FLAIR magnetic resonance.
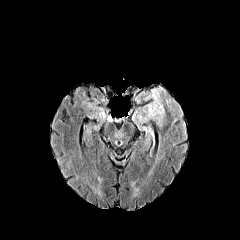
T1-weighted MR.
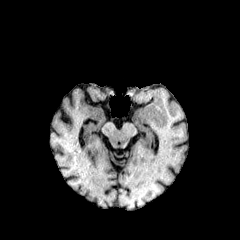
Post-contrast T1-weighted MRI.
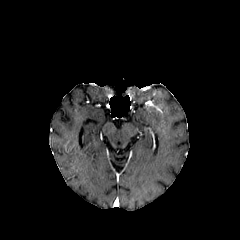
T2-weighted MR.
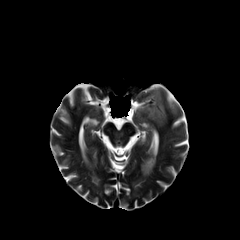
Axial slice
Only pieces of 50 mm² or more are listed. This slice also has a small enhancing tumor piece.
peritumoral edema at (left=145, top=90, right=163, bottom=125)